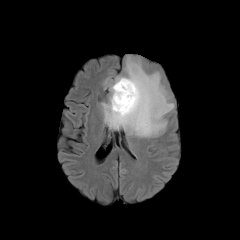
FLAIR MRI.
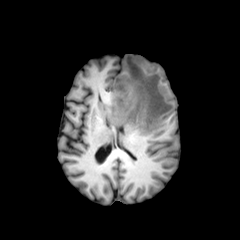
Same slice, T1-weighted MR.
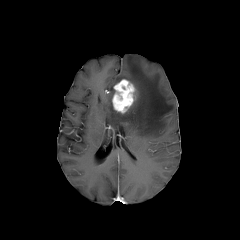
Post-contrast T1-weighted MRI.
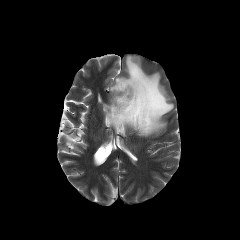
T2-weighted MRI of the same slice.
Head
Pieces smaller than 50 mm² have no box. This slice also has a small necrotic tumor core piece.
{"enhancing_tumor": ["region(112, 79, 135, 113)"], "peritumoral_edema": ["region(102, 56, 174, 137)"]}